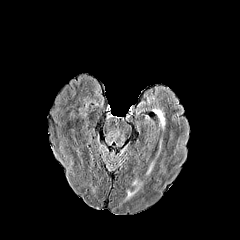
FLAIR MRI.
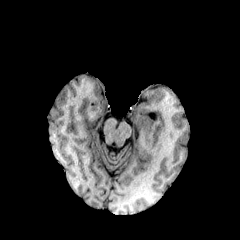
Same slice, T1-weighted MR image.
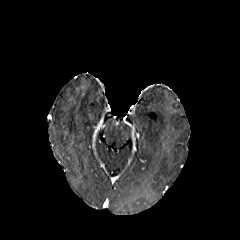
Post-contrast T1-weighted magnetic resonance.
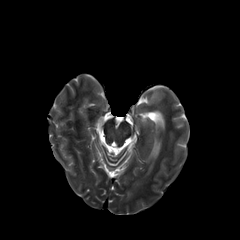
T2-weighted MR.
Head | Axial slice
peritumoral edema: (155, 110, 164, 128)